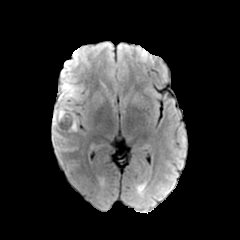
FLAIR MR.
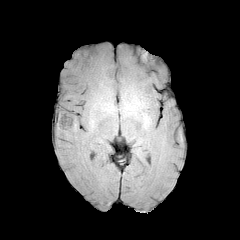
T1-weighted magnetic resonance of the same slice.
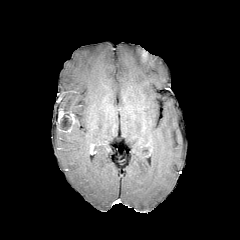
Same slice, post-contrast T1-weighted MRI.
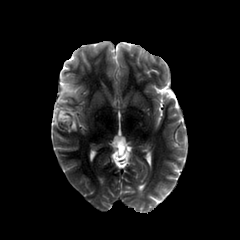
T2-weighted MR.
Brain
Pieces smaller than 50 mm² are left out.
The largest enhancing tumor region is located at box=[56, 108, 77, 132]. The largest peritumoral edema region appears at box=[52, 83, 83, 130]. The necrotic tumor core is located at box=[60, 113, 71, 130].